FLAIR magnetic resonance.
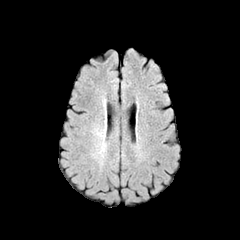
T1-weighted MR image.
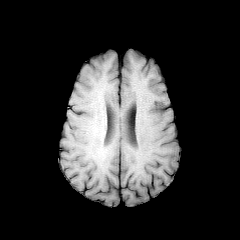
Post-contrast T1-weighted magnetic resonance.
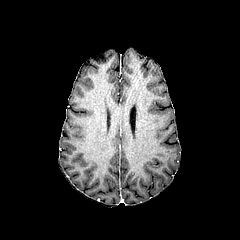
T2-weighted magnetic resonance.
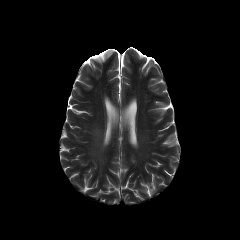
peritumoral edema: left=90, top=123, right=105, bottom=139